Brain. Axial slice.
FLAIR MRI.
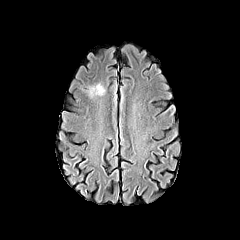
T1-weighted MRI.
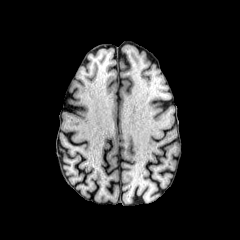
Post-contrast T1-weighted MR image.
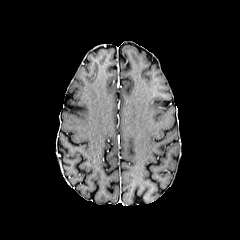
T2-weighted magnetic resonance.
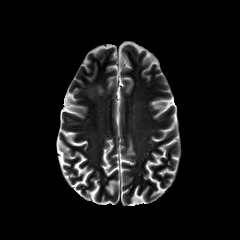
<segmentation>
  <peritumoral_edema>[89,84,103,96]</peritumoral_edema>
</segmentation>